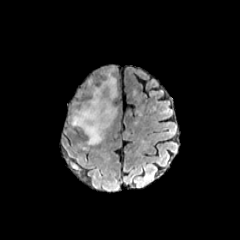
FLAIR MR.
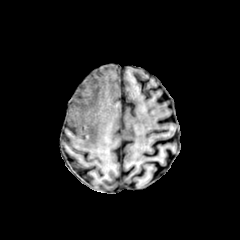
T1-weighted MRI.
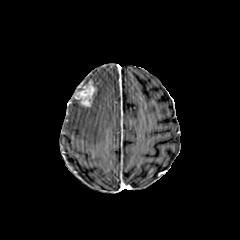
Post-contrast T1-weighted MR image.
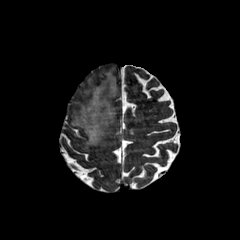
T2-weighted magnetic resonance.
Image size 240x240 | Brain
enhancing tumor: 74,79,97,107
peritumoral edema: 71,68,116,144